Axial slice
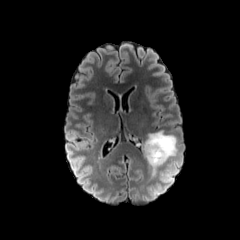
FLAIR MR.
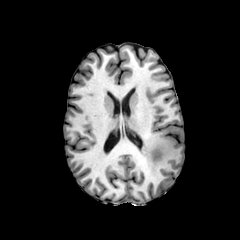
T1-weighted MR.
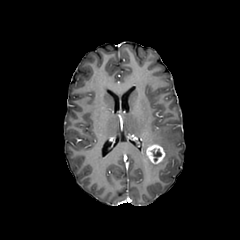
Same slice, post-contrast T1-weighted magnetic resonance.
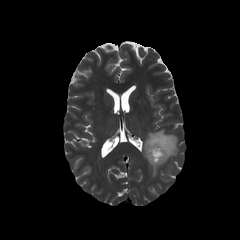
T2-weighted MRI.
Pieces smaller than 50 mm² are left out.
Findings:
- enhancing tumor: x1=146 y1=144 x2=165 y2=163
- peritumoral edema: x1=144 y1=131 x2=177 y2=174
- necrotic tumor core: x1=151 y1=149 x2=161 y2=161